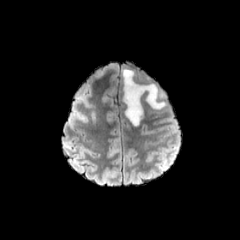
FLAIR MR image.
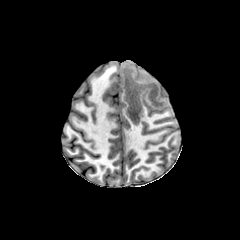
T1-weighted MR image.
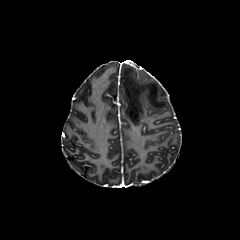
Post-contrast T1-weighted MRI.
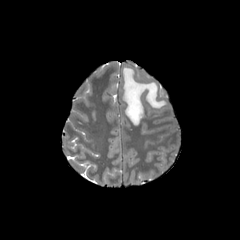
T2-weighted magnetic resonance of the same slice.
Head; Image size 240x240
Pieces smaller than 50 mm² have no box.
peritumoral edema: x1=122 y1=68 x2=165 y2=125